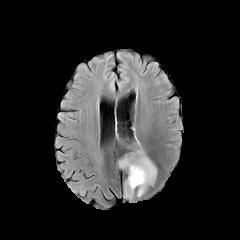
FLAIR MR image.
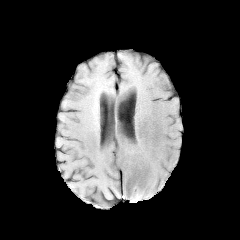
T1-weighted MR.
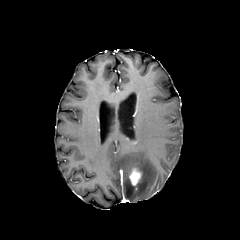
Post-contrast T1-weighted MR.
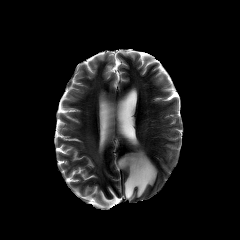
T2-weighted magnetic resonance.
Findings:
- peritumoral edema: {"x1": 118, "y1": 138, "x2": 157, "y2": 199}
- enhancing tumor: {"x1": 129, "y1": 167, "x2": 141, "y2": 185}